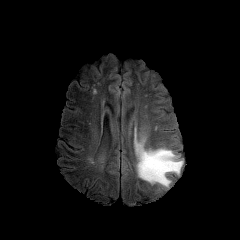
FLAIR MR image.
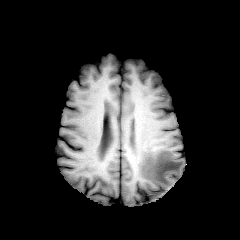
Same slice, T1-weighted MRI.
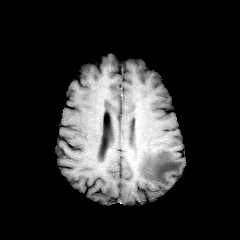
Post-contrast T1-weighted magnetic resonance.
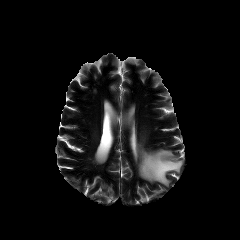
Same slice, T2-weighted magnetic resonance.
240x240 px; Brain; Axial view
peritumoral edema — rect(135, 140, 183, 186)